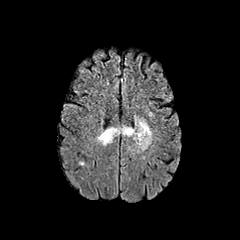
FLAIR MR.
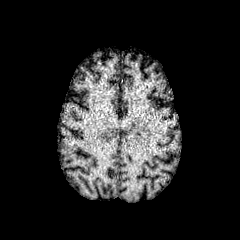
T1-weighted MR image of the same slice.
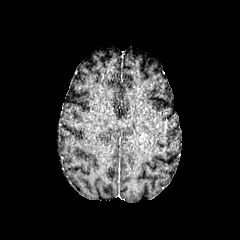
Same slice, post-contrast T1-weighted MR.
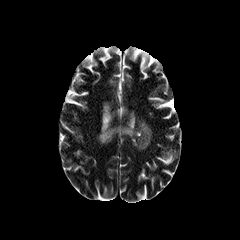
Same slice, T2-weighted MR.
Axial view.
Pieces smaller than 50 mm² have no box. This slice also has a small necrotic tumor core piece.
peritumoral edema = (97,117,152,151)
enhancing tumor = (137,128,146,141)